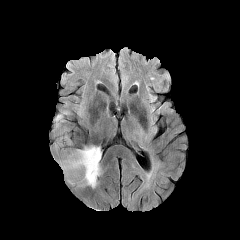
FLAIR magnetic resonance.
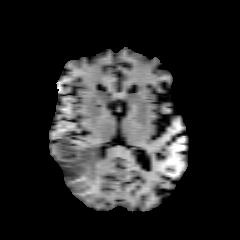
T1-weighted MRI.
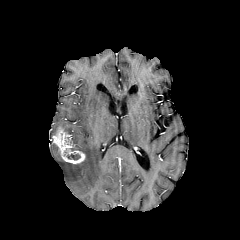
Post-contrast T1-weighted MR.
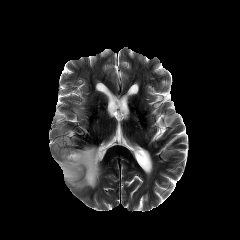
Same slice, T2-weighted MR image.
Brain.
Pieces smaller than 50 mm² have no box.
The enhancing tumor is located at box(52, 127, 85, 164). The 2 largest peritumoral edema regions are bounded by box(56, 145, 101, 188); box(55, 111, 68, 130). The necrotic tumor core is located at box(67, 154, 79, 159).